Image covers 240 mm x 240 mm | Slice 72/155
FLAIR MR image.
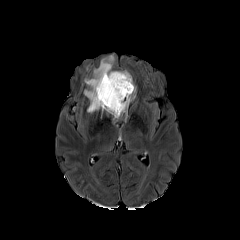
T1-weighted MR image.
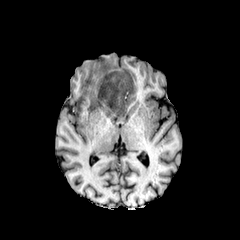
Post-contrast T1-weighted MRI.
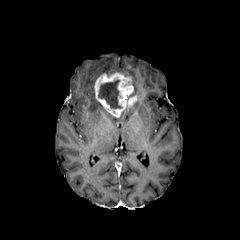
T2-weighted MR.
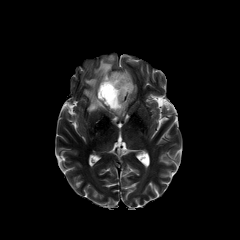
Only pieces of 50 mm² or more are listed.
The largest peritumoral edema region lies within <box>84,55,129,112</box>. The necrotic tumor core is bounded by <box>98,80,121,108</box>. The enhancing tumor is at <box>94,72,136,117</box>.